Slice 117/155 | Axial view | Image covers 240 mm x 240 mm
FLAIR MR image.
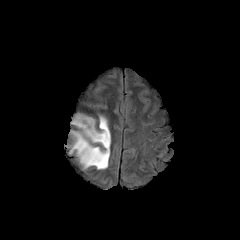
T1-weighted magnetic resonance.
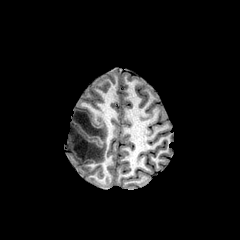
Post-contrast T1-weighted MR image.
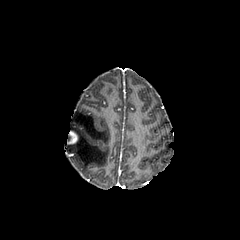
T2-weighted MRI.
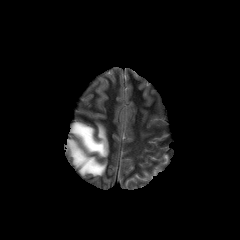
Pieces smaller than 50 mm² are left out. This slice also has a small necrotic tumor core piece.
peritumoral edema: 67:115:110:171 | enhancing tumor: 68:131:77:144